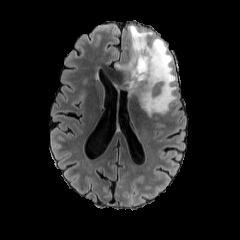
FLAIR MR image.
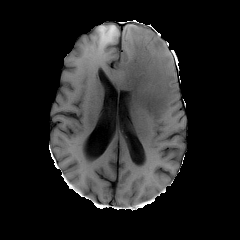
T1-weighted MR.
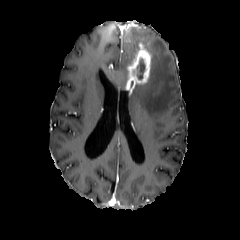
Post-contrast T1-weighted magnetic resonance of the same slice.
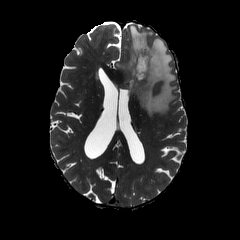
Same slice, T2-weighted MRI.
Head, 240x240 px
The peritumoral edema is bounded by region(116, 25, 176, 117). The necrotic tumor core is bounded by region(137, 59, 145, 79). The enhancing tumor is at region(125, 37, 152, 92).